Image size 240x240, Slice 125 of 155, Head
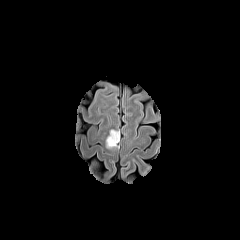
FLAIR MR.
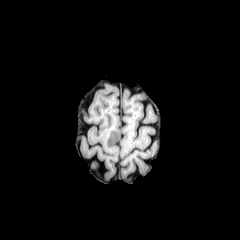
Same slice, T1-weighted MR.
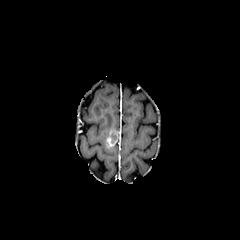
Same slice, post-contrast T1-weighted MRI.
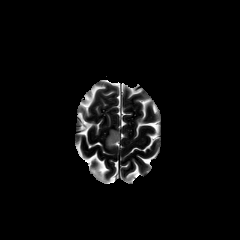
Same slice, T2-weighted MRI.
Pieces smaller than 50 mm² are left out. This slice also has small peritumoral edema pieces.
Findings:
* necrotic tumor core: left=111, top=133, right=116, bottom=143
* enhancing tumor: left=107, top=130, right=117, bottom=146